FLAIR MRI.
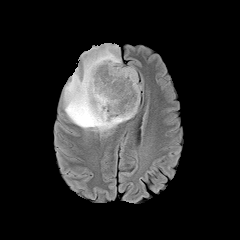
T1-weighted MR.
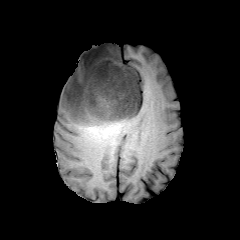
Post-contrast T1-weighted MR image.
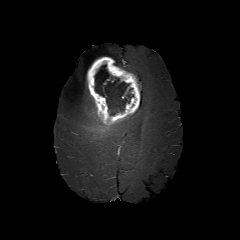
T2-weighted MR image.
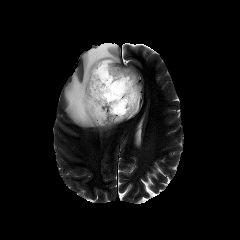
Axial view | Brain
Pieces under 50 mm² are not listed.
<segmentation>
  <peritumoral_edema>[123, 67, 137, 77], [63, 43, 137, 131]</peritumoral_edema>
  <enhancing_tumor>[86, 56, 140, 125]</enhancing_tumor>
  <necrotic_tumor_core>[95, 64, 133, 115]</necrotic_tumor_core>
</segmentation>